Slice 85/155; Image size 240x240; Head
FLAIR MR image.
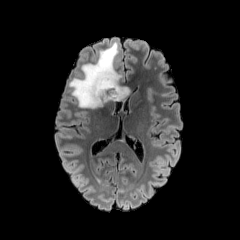
T1-weighted MR.
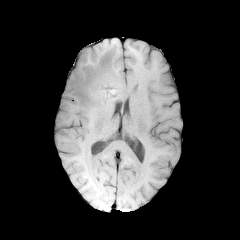
Post-contrast T1-weighted magnetic resonance.
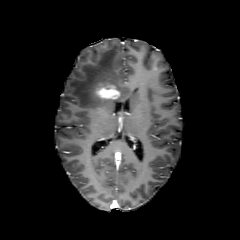
T2-weighted magnetic resonance.
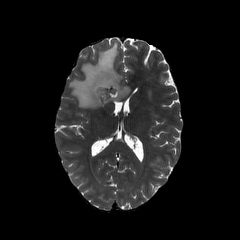
Annotated regions:
* peritumoral edema: bbox(68, 42, 129, 108)
* enhancing tumor: bbox(95, 84, 119, 98)